Head. Axial view.
FLAIR MR image.
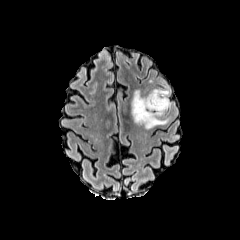
T1-weighted MRI.
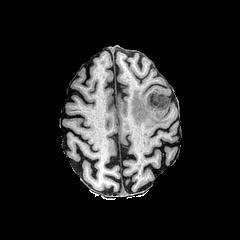
Post-contrast T1-weighted MR.
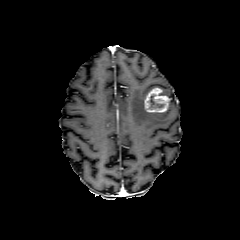
T2-weighted MR image.
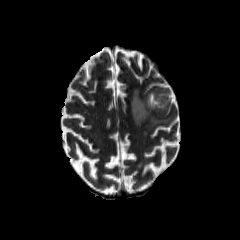
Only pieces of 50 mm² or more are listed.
necrotic tumor core at bbox=[147, 94, 163, 110]
peritumoral edema at bbox=[131, 90, 168, 128]
enhancing tumor at bbox=[144, 87, 169, 112]